Axial plane, 240x240 px, Slice index 82, Brain
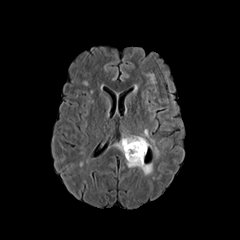
FLAIR MR image.
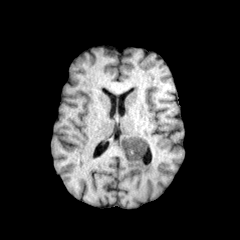
T1-weighted magnetic resonance.
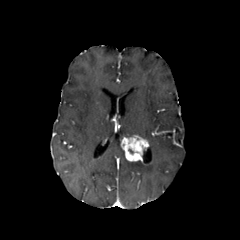
Post-contrast T1-weighted MR image of the same slice.
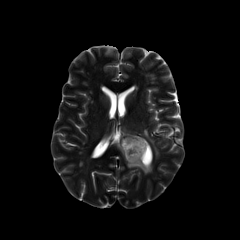
T2-weighted MR image.
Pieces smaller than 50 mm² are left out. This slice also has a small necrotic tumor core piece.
peritumoral_edema:
  - x1=114, y1=141, x2=124, y2=155
  - x1=126, y1=160, x2=152, y2=175
  - x1=140, y1=129, x2=159, y2=157
enhancing_tumor:
  - x1=121, y1=135, x2=148, y2=162